FLAIR magnetic resonance.
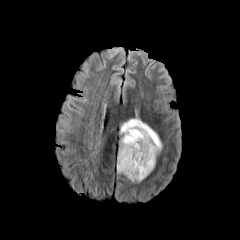
T1-weighted MR.
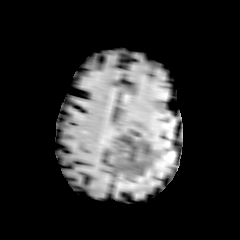
Post-contrast T1-weighted MRI.
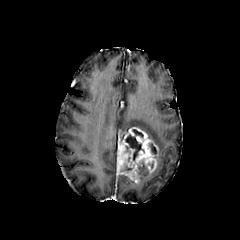
T2-weighted MRI.
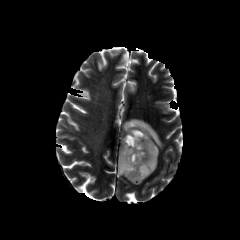
Axial plane.
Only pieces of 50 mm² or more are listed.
peritumoral edema at 120, 118, 162, 152
necrotic tumor core at 138, 162, 148, 175; 125, 135, 141, 160
enhancing tumor at 116, 127, 159, 182